FLAIR MR image.
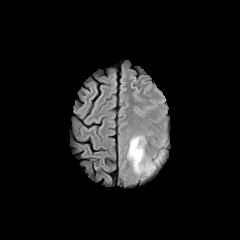
T1-weighted MR.
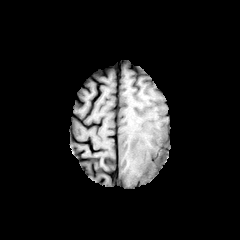
Post-contrast T1-weighted MR image.
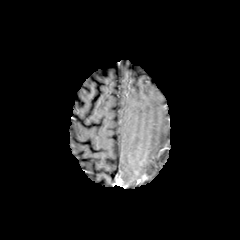
T2-weighted MRI.
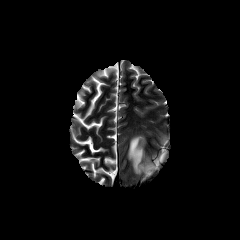
Head
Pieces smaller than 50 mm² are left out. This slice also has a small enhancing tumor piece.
Annotated regions:
- peritumoral edema: bbox=[127, 135, 165, 176]